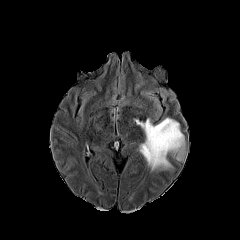
FLAIR magnetic resonance.
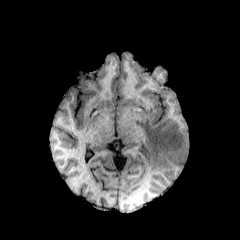
T1-weighted MR of the same slice.
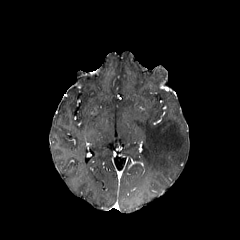
Post-contrast T1-weighted MR.
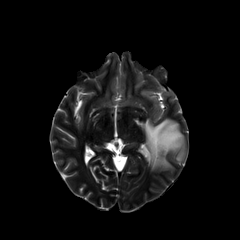
T2-weighted MR.
Axial plane | Brain
* peritumoral edema: <bbox>135, 118, 185, 170</bbox>